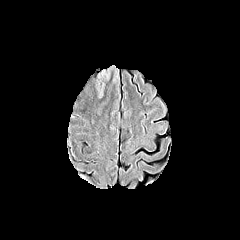
FLAIR MR image.
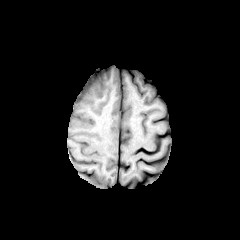
T1-weighted MRI of the same slice.
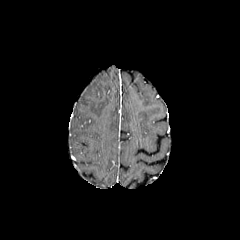
Post-contrast T1-weighted MR.
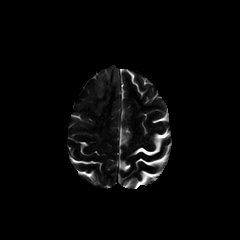
T2-weighted MR image.
Head
peritumoral edema: bounding box rect(94, 66, 118, 96)